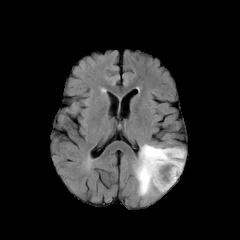
FLAIR magnetic resonance.
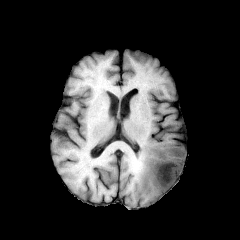
Same slice, T1-weighted MR image.
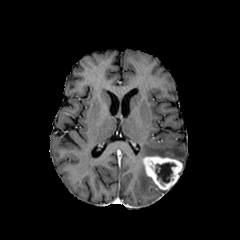
Same slice, post-contrast T1-weighted magnetic resonance.
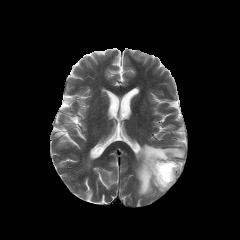
T2-weighted MR image.
240x240 | Head
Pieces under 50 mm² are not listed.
necrotic tumor core at 155, 163, 175, 183
enhancing tumor at 142, 156, 182, 190
peritumoral edema at 135, 144, 185, 196